FLAIR MR image.
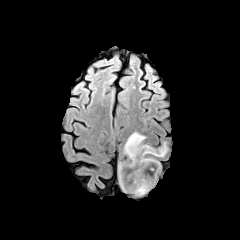
T1-weighted MRI.
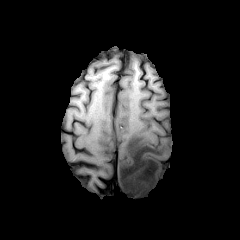
Post-contrast T1-weighted MR image.
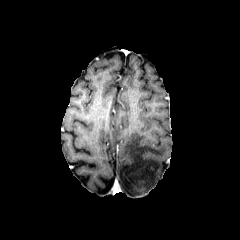
T2-weighted MR.
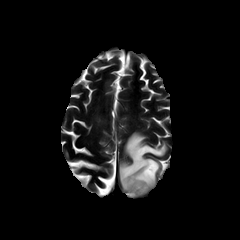
240x240 | Brain
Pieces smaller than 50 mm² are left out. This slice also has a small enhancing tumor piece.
The peritumoral edema lies within bbox(118, 132, 167, 195).